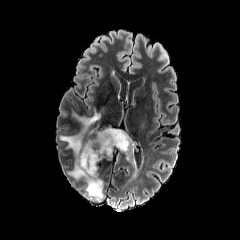
FLAIR magnetic resonance.
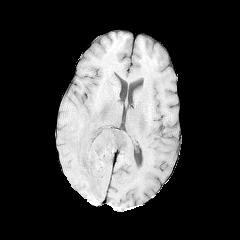
T1-weighted MR image.
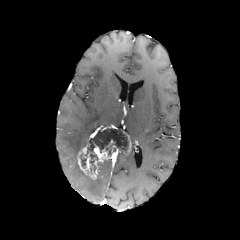
Same slice, post-contrast T1-weighted magnetic resonance.
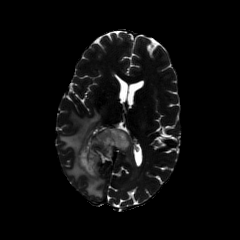
Same slice, T2-weighted MR.
Head
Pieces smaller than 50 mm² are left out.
<segmentation>
  <peritumoral_edema>bbox=[60, 109, 102, 197]</peritumoral_edema>
  <enhancing_tumor>bbox=[77, 127, 132, 179]</enhancing_tumor>
  <necrotic_tumor_core>bbox=[89, 153, 98, 164]; bbox=[80, 155, 86, 167]; bbox=[85, 129, 128, 155]</necrotic_tumor_core>
</segmentation>